FLAIR magnetic resonance.
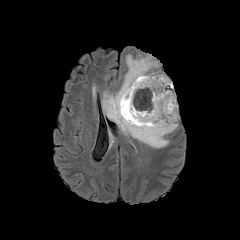
T1-weighted MRI.
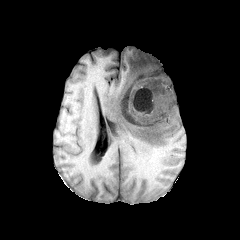
Post-contrast T1-weighted magnetic resonance.
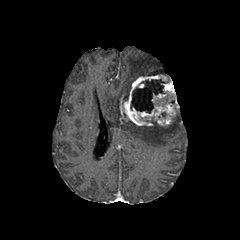
T2-weighted MRI.
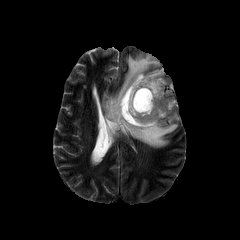
Axial view
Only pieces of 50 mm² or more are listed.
The enhancing tumor is at region(120, 74, 178, 126). The largest peritumoral edema region lies within region(102, 53, 179, 148). The largest necrotic tumor core region is at region(130, 79, 167, 113).